FLAIR magnetic resonance.
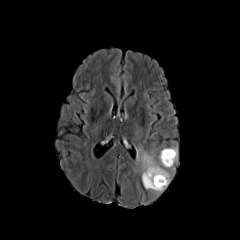
T1-weighted MR image.
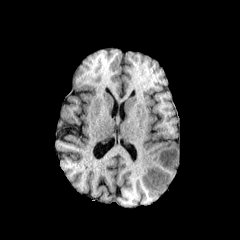
Post-contrast T1-weighted MR image.
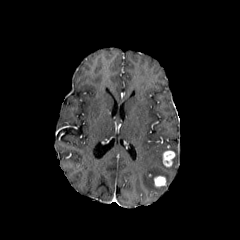
T2-weighted MR image.
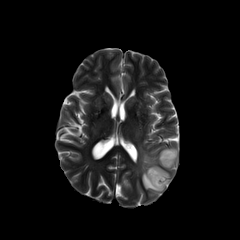
Brain
enhancing_tumor:
  - [162,150,175,167]
  - [154,176,166,187]
peritumoral_edema:
  - [137,147,177,193]